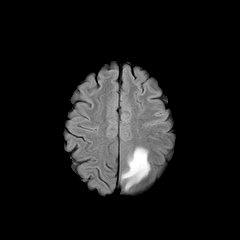
FLAIR magnetic resonance.
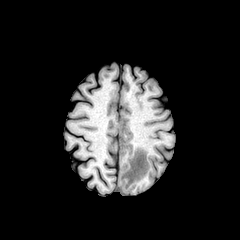
Same slice, T1-weighted MR image.
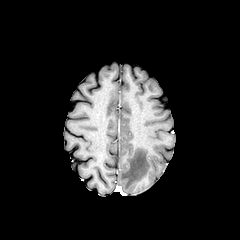
Post-contrast T1-weighted MR.
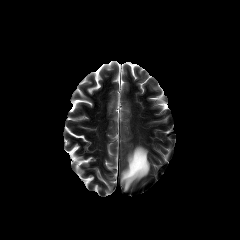
Same slice, T2-weighted magnetic resonance.
peritumoral edema: bounding box x1=121, y1=147, x2=150, y2=190